Head
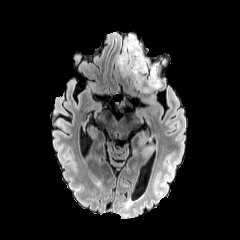
FLAIR MRI.
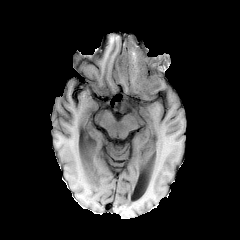
T1-weighted MR image.
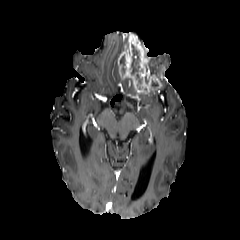
Same slice, post-contrast T1-weighted magnetic resonance.
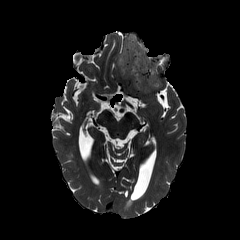
Same slice, T2-weighted magnetic resonance.
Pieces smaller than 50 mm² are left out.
The largest enhancing tumor region is bounded by x1=118 y1=34 x2=161 y2=95. The 2 largest necrotic tumor core regions appear at x1=119 y1=55 x2=125 y2=74, x1=131 y1=44 x2=143 y2=86. The largest peritumoral edema region appears at x1=143 y1=57 x2=158 y2=83.